240x240. Head. Slice index 100.
FLAIR MR.
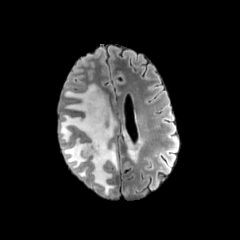
T1-weighted MRI.
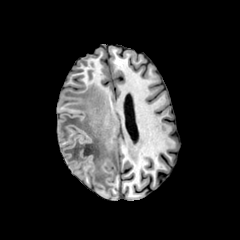
Post-contrast T1-weighted MR.
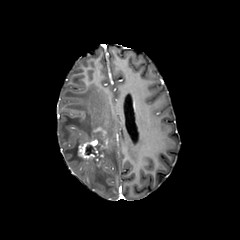
T2-weighted MRI.
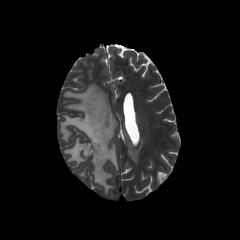
<segmentation>
  <peritumoral_edema>box(59, 84, 118, 195); box(122, 130, 144, 162); box(77, 166, 87, 176)</peritumoral_edema>
  <enhancing_tumor>box(78, 127, 108, 165)</enhancing_tumor>
  <necrotic_tumor_core>box(85, 132, 104, 159)</necrotic_tumor_core>
</segmentation>